FLAIR MRI.
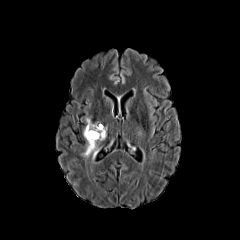
T1-weighted magnetic resonance.
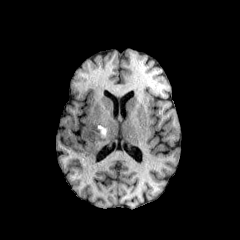
Post-contrast T1-weighted MR image.
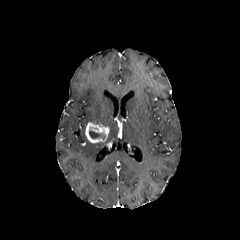
T2-weighted MR image.
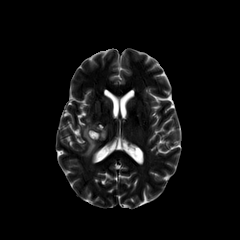
Brain
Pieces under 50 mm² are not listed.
The necrotic tumor core appears at 89 130 105 138. The largest peritumoral edema region is bounded by 82 138 99 159. The enhancing tumor is at 85 122 108 143.